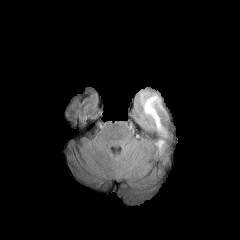
FLAIR magnetic resonance.
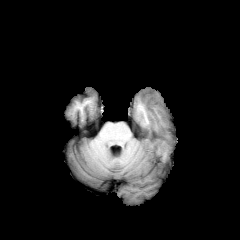
T1-weighted magnetic resonance.
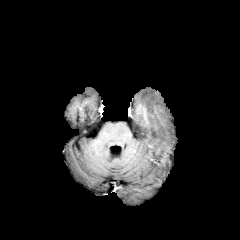
Post-contrast T1-weighted MR.
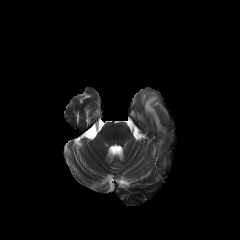
Same slice, T2-weighted MRI.
Head. 240x240.
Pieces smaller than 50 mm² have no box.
peritumoral edema = 140,91,165,134